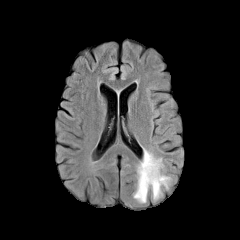
FLAIR MR.
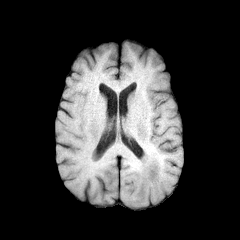
T1-weighted MR image.
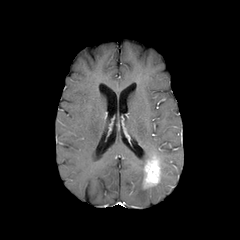
Post-contrast T1-weighted MR image.
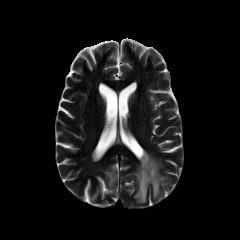
Same slice, T2-weighted MR image.
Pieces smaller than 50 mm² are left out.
The largest peritumoral edema region is bounded by box=[133, 148, 171, 203]. The enhancing tumor is at box=[143, 155, 160, 188].